FLAIR MR image.
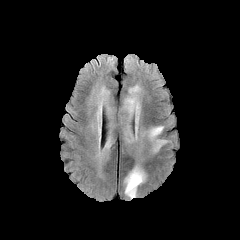
T1-weighted magnetic resonance.
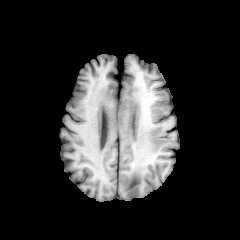
Post-contrast T1-weighted MR image.
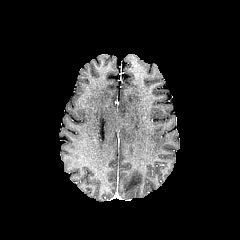
T2-weighted MR image.
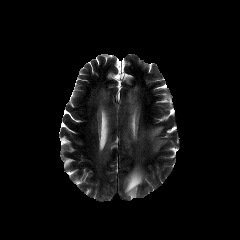
Brain.
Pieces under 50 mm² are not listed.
<segmentation>
  <peritumoral_edema>105 137 111 148, 148 126 166 151, 96 98 103 148, 124 166 145 198, 123 85 140 142</peritumoral_edema>
</segmentation>